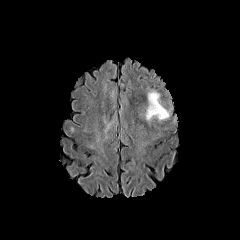
FLAIR MRI.
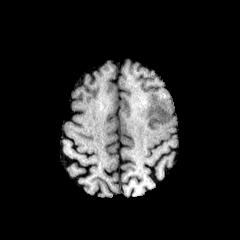
T1-weighted MR image.
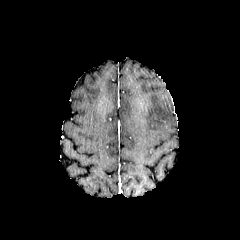
Post-contrast T1-weighted magnetic resonance.
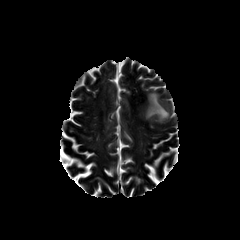
Same slice, T2-weighted MRI.
Brain. 240x240 px.
peritumoral edema: box(145, 91, 169, 121)